FLAIR MRI.
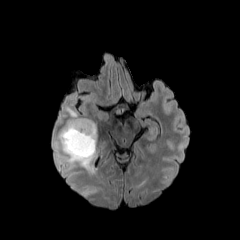
T1-weighted MR.
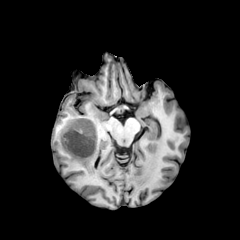
Post-contrast T1-weighted MRI.
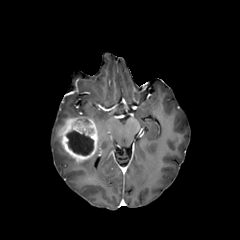
T2-weighted magnetic resonance.
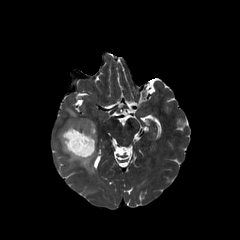
Brain
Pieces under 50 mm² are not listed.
peritumoral_edema:
  - <box>54,137,68,155</box>
  - <box>65,156,93,172</box>
  - <box>66,106,79,117</box>
necrotic_tumor_core:
  - <box>67,131,93,155</box>
enhancing_tumor:
  - <box>58,117,98,162</box>